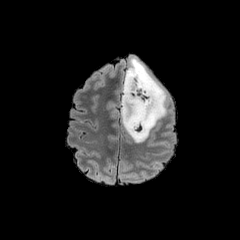
FLAIR MR image.
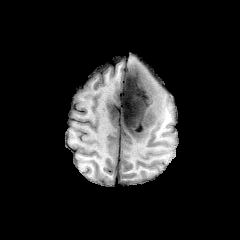
T1-weighted MRI.
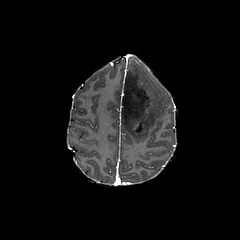
Post-contrast T1-weighted MR image of the same slice.
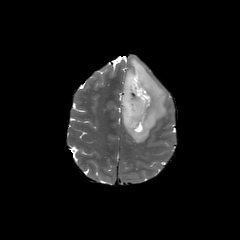
T2-weighted magnetic resonance of the same slice.
Head, 240x240
{"peritumoral_edema": ["[x1=130, y1=58, x2=166, y2=142]"], "necrotic_tumor_core": ["[x1=113, y1=68, x2=151, y2=135]"]}